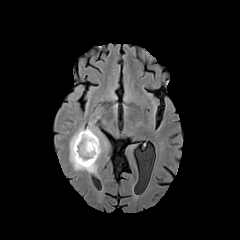
FLAIR MR image.
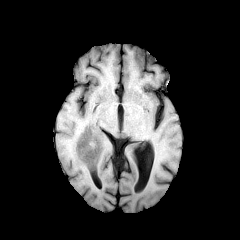
T1-weighted MRI.
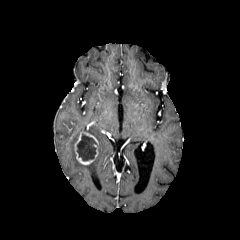
Same slice, post-contrast T1-weighted MRI.
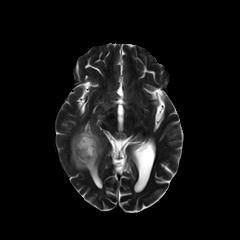
Same slice, T2-weighted magnetic resonance.
240x240 px
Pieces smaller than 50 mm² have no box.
2 peritumoral edema regions are located at region(67, 85, 84, 100); region(68, 107, 109, 174). The necrotic tumor core is located at region(77, 133, 96, 161). The largest enhancing tumor region is located at region(75, 132, 98, 164).